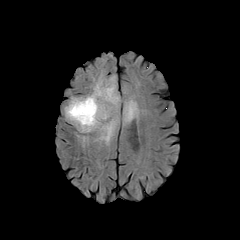
FLAIR MR.
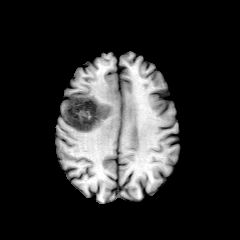
T1-weighted magnetic resonance.
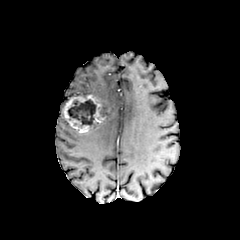
Same slice, post-contrast T1-weighted MR image.
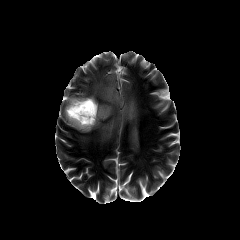
T2-weighted MR of the same slice.
Axial slice
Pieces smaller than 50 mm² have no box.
enhancing tumor: (63, 95, 105, 132) | necrotic tumor core: (68, 99, 96, 126) | peritumoral edema: (87, 74, 120, 142), (122, 98, 138, 124)